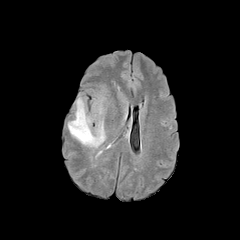
FLAIR MRI.
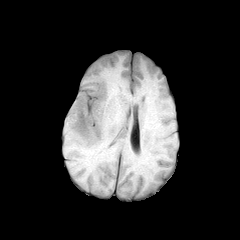
Same slice, T1-weighted magnetic resonance.
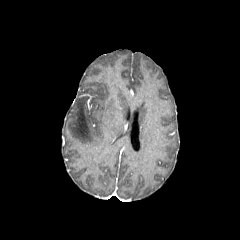
Post-contrast T1-weighted MR image.
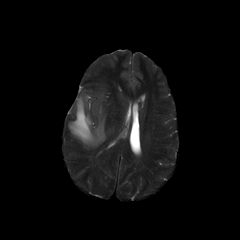
T2-weighted magnetic resonance.
Head, 240x240 px, Axial plane
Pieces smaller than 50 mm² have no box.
peritumoral edema — region(68, 98, 105, 147)